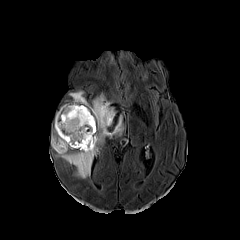
FLAIR MR image.
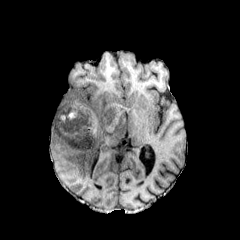
T1-weighted MR image.
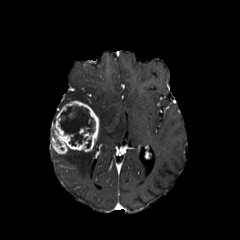
Same slice, post-contrast T1-weighted MRI.
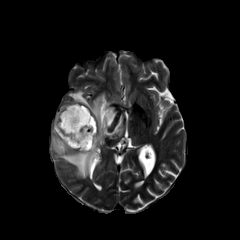
T2-weighted MRI.
Axial plane. Head.
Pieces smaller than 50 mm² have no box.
<segmentation>
  <necrotic_tumor_core>[x1=59, y1=106, x2=95, y2=146]</necrotic_tumor_core>
  <peritumoral_edema>[x1=91, y1=93, x2=123, y2=144], [x1=56, y1=146, x2=97, y2=178], [x1=69, y1=91, x2=88, y2=104]</peritumoral_edema>
  <enhancing_tumor>[x1=51, y1=101, x2=99, y2=153]</enhancing_tumor>
</segmentation>